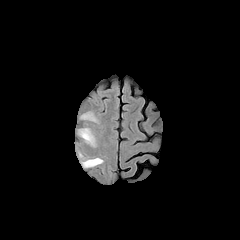
FLAIR MR.
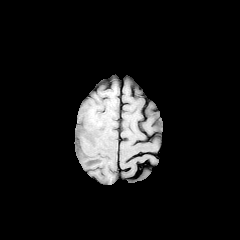
T1-weighted MR of the same slice.
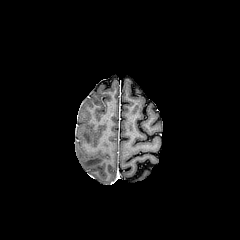
Post-contrast T1-weighted MR.
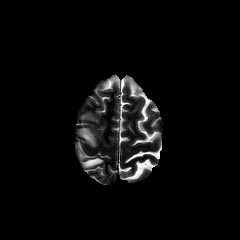
Same slice, T2-weighted MR.
240x240 px | Brain
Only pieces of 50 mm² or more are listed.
peritumoral_edema:
  - {"x1": 82, "y1": 113, "x2": 93, "y2": 119}
  - {"x1": 82, "y1": 158, "x2": 102, "y2": 167}
  - {"x1": 79, "y1": 128, "x2": 94, "y2": 145}